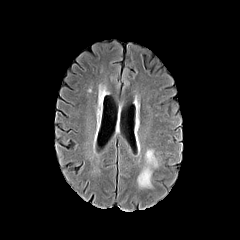
FLAIR magnetic resonance.
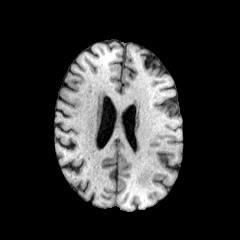
Same slice, T1-weighted MR.
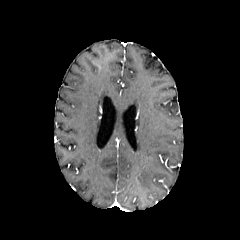
Post-contrast T1-weighted MR.
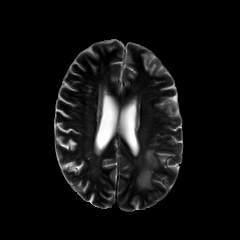
T2-weighted MR.
Brain, 240x240
peritumoral edema: bounding box box(137, 150, 157, 187)